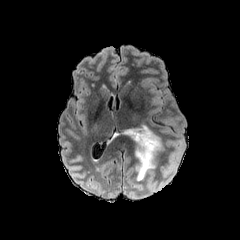
FLAIR MR.
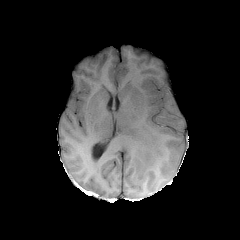
T1-weighted MR of the same slice.
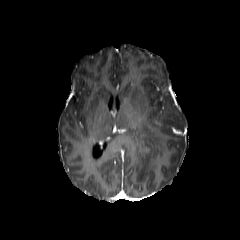
Post-contrast T1-weighted MRI of the same slice.
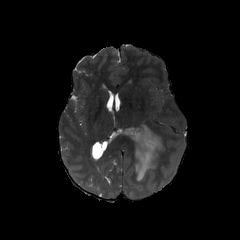
T2-weighted MR image of the same slice.
Head, Axial view
Segmented structures:
* peritumoral edema: box=[108, 124, 163, 180]